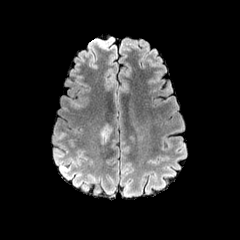
FLAIR MRI.
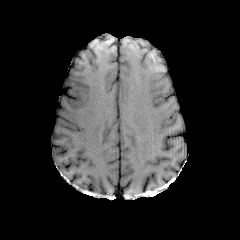
T1-weighted MRI.
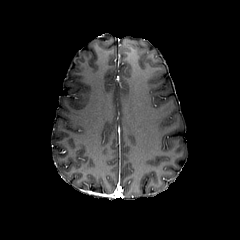
Post-contrast T1-weighted magnetic resonance of the same slice.
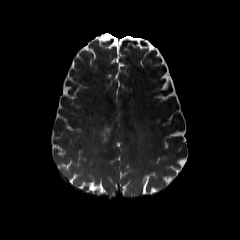
T2-weighted magnetic resonance of the same slice.
Head; Image size 240x240
<segmentation>
  <peritumoral_edema>(101, 129, 107, 141)</peritumoral_edema>
</segmentation>